FLAIR MR.
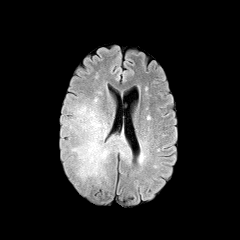
T1-weighted MRI.
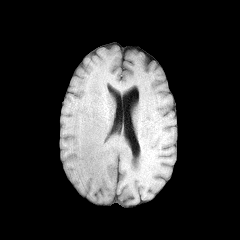
Post-contrast T1-weighted MR.
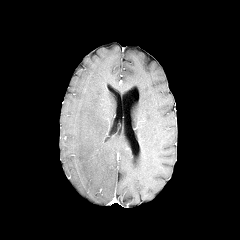
T2-weighted MR.
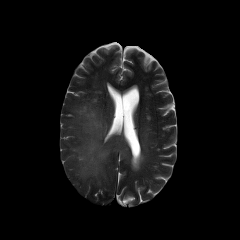
Axial view | Head
The peritumoral edema is located at 69 98 128 183.